FLAIR MRI.
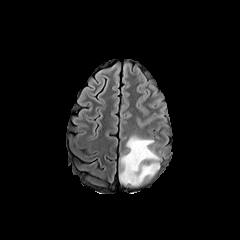
T1-weighted MR.
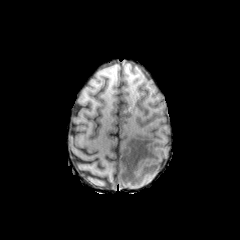
Post-contrast T1-weighted MR.
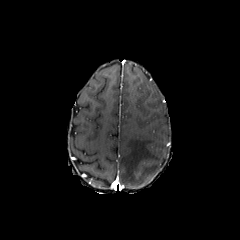
T2-weighted MRI.
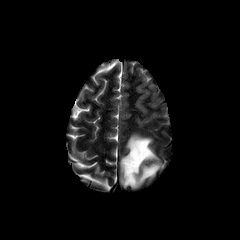
Brain. Axial view. Image size 240x240.
<segmentation>
  <peritumoral_edema>rect(120, 135, 160, 186)</peritumoral_edema>
</segmentation>